Brain, 240x240 px, Image width 240 mm, 1.00 mm slice spacing
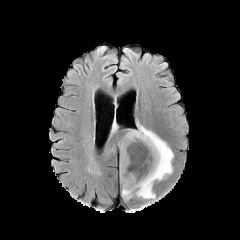
FLAIR magnetic resonance.
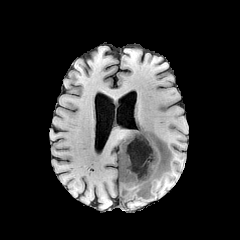
T1-weighted MRI.
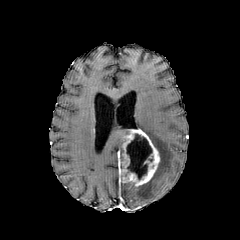
Same slice, post-contrast T1-weighted MR.
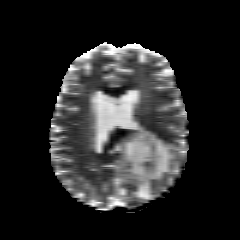
T2-weighted magnetic resonance.
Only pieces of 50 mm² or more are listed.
The largest peritumoral edema region is bounded by rect(121, 122, 173, 199). The enhancing tumor appears at rect(119, 129, 160, 186). The largest necrotic tumor core region is bounded by rect(126, 134, 152, 179).